FLAIR MR.
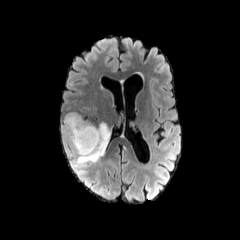
T1-weighted MR image.
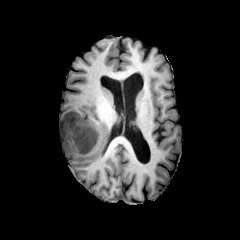
Post-contrast T1-weighted MR.
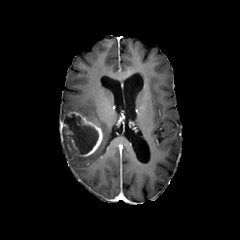
T2-weighted magnetic resonance.
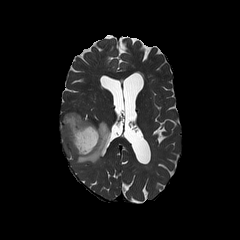
Head; Axial view
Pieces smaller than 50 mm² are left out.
necrotic tumor core = 64:113:98:154
peritumoral edema = 62:120:112:168
enhancing tumor = 60:111:103:156